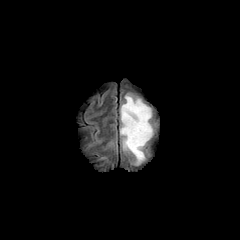
FLAIR MR.
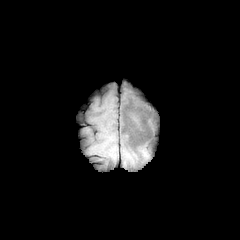
T1-weighted magnetic resonance of the same slice.
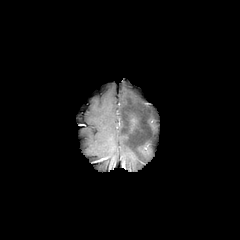
Post-contrast T1-weighted MR image.
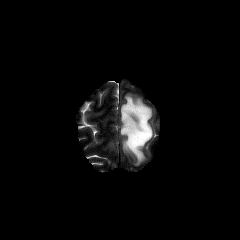
T2-weighted MRI.
Head.
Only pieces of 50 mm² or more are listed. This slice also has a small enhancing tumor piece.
Annotated regions:
• peritumoral edema: region(120, 93, 153, 165)